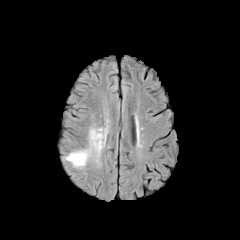
FLAIR MR image.
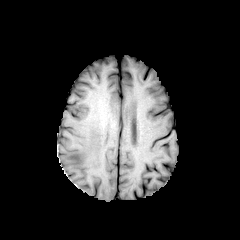
T1-weighted MRI.
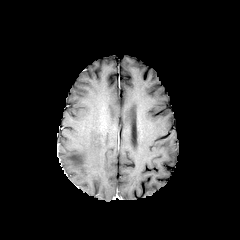
Post-contrast T1-weighted MR image.
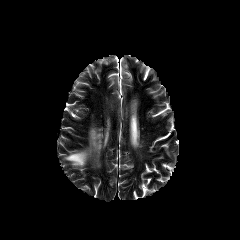
Same slice, T2-weighted MRI.
Image size 240x240
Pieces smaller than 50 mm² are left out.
{"peritumoral_edema": ["64,129,102,167"]}